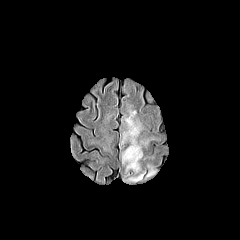
FLAIR magnetic resonance.
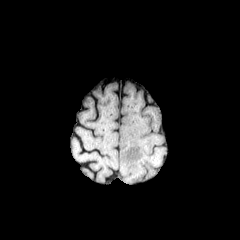
T1-weighted magnetic resonance.
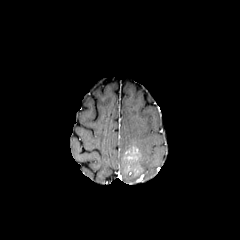
Post-contrast T1-weighted MR image of the same slice.
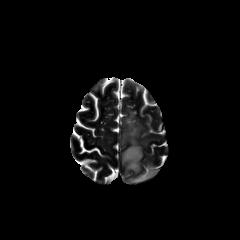
T2-weighted MRI.
Axial plane.
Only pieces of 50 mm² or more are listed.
• peritumoral edema: bbox=[146, 162, 157, 176]; bbox=[121, 107, 157, 164]
• enhancing tumor: bbox=[122, 146, 144, 178]